FLAIR MR image.
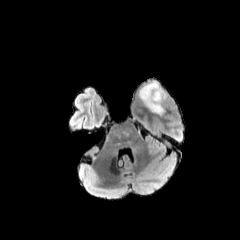
T1-weighted MRI.
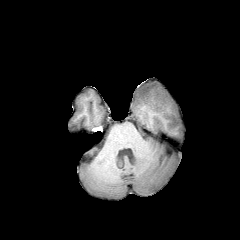
Post-contrast T1-weighted magnetic resonance.
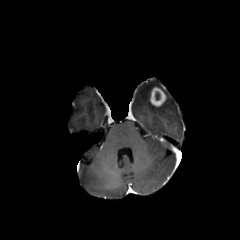
T2-weighted MRI.
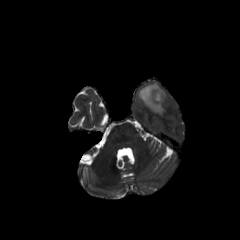
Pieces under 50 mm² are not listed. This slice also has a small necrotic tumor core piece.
- enhancing tumor: {"x1": 150, "y1": 86, "x2": 166, "y2": 106}
- peritumoral edema: {"x1": 138, "y1": 80, "x2": 169, "y2": 115}